Brain. Slice 78/155.
FLAIR MRI.
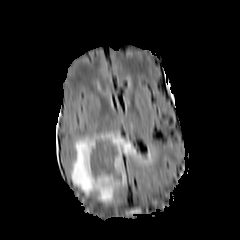
T1-weighted magnetic resonance.
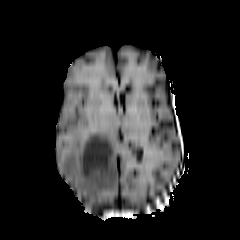
Post-contrast T1-weighted MR.
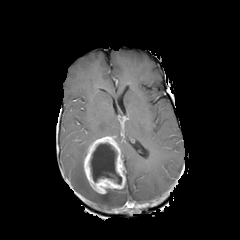
T2-weighted magnetic resonance.
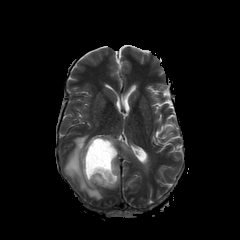
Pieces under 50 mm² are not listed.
peritumoral edema = bbox=[69, 132, 137, 202]
enhancing tumor = bbox=[83, 136, 125, 193]
necrotic tumor core = bbox=[90, 143, 121, 184]